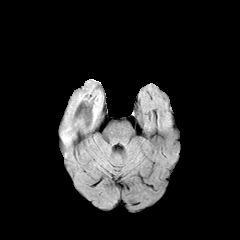
FLAIR MRI.
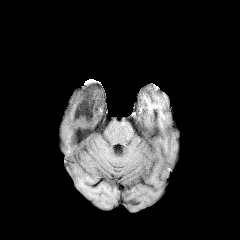
Same slice, T1-weighted magnetic resonance.
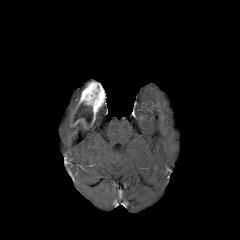
Post-contrast T1-weighted magnetic resonance of the same slice.
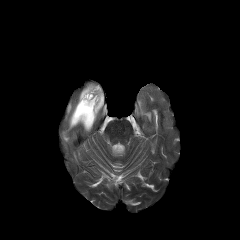
T2-weighted MR image of the same slice.
Axial slice
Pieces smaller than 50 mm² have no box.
enhancing tumor = x1=69, y1=82, x2=104, y2=129
necrotic tumor core = x1=73, y1=104, x2=92, y2=124
peritumoral edema = x1=62, y1=91, x2=82, y2=143